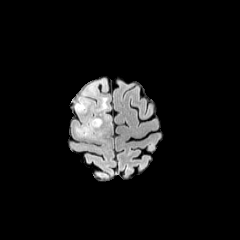
FLAIR magnetic resonance.
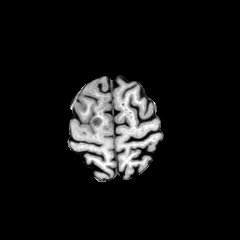
T1-weighted MR image of the same slice.
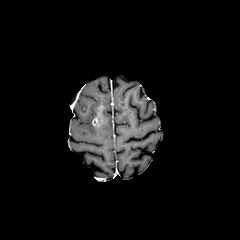
Post-contrast T1-weighted magnetic resonance.
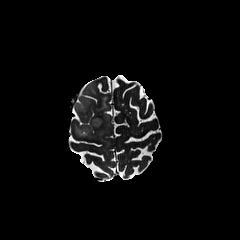
T2-weighted MRI.
Axial plane; 240x240
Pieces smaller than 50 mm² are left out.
peritumoral edema: (76, 119, 104, 137), (76, 99, 89, 112), (101, 96, 110, 120) | enhancing tumor: (92, 104, 105, 127)